Image size 240x240; Slice index 63; Head
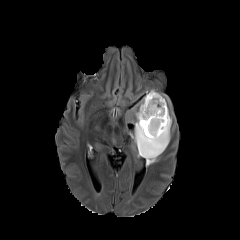
FLAIR magnetic resonance.
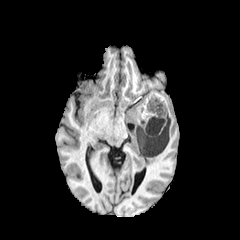
T1-weighted MRI.
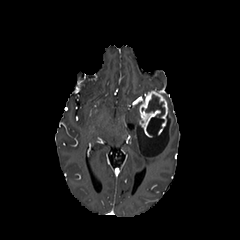
Post-contrast T1-weighted MR of the same slice.
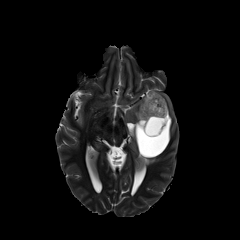
Same slice, T2-weighted MR.
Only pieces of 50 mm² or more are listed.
enhancing tumor at (139,90,168,137)
necrotic tumor core at (145,94,164,137)
peritumoral edema at (160,92,171,108), (125,98,172,166)